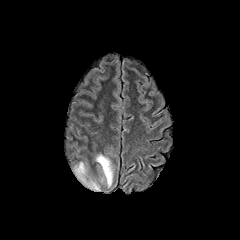
FLAIR MR image.
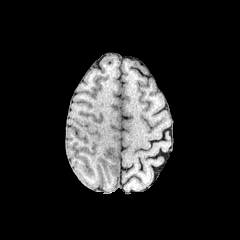
T1-weighted magnetic resonance.
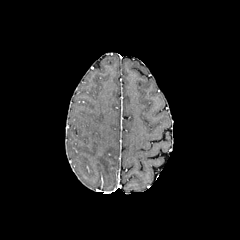
Post-contrast T1-weighted magnetic resonance.
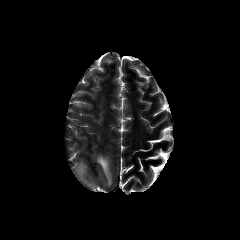
T2-weighted magnetic resonance.
• peritumoral edema: l=75, t=162, r=96, b=188; l=96, t=154, r=112, b=186